240x240; Brain; Slice 134 of 155; Axial slice
FLAIR MR.
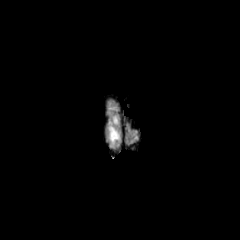
T1-weighted MRI.
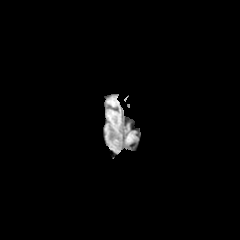
Post-contrast T1-weighted MRI.
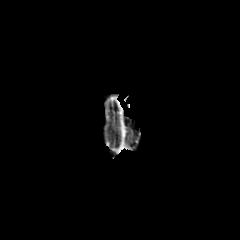
T2-weighted MR image.
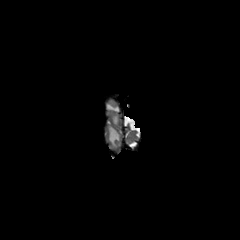
peritumoral edema at (left=107, top=112, right=120, bottom=146)